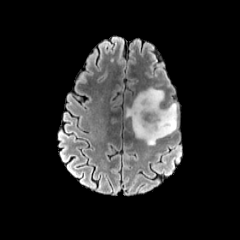
FLAIR MR image.
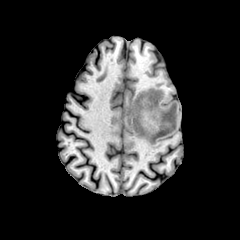
T1-weighted MR image.
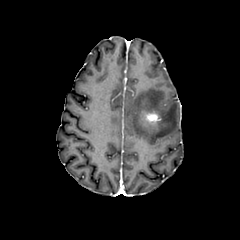
Post-contrast T1-weighted MR.
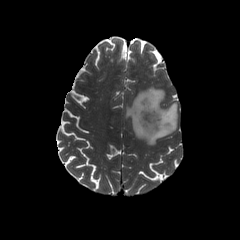
Same slice, T2-weighted MRI.
Head, Axial view
The enhancing tumor lies within <box>142,111,160,123</box>. The peritumoral edema is bounded by <box>125,87,177,145</box>.